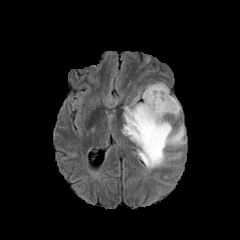
FLAIR magnetic resonance.
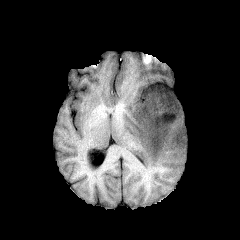
T1-weighted MRI.
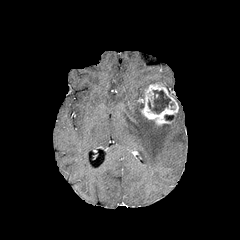
Post-contrast T1-weighted MR.
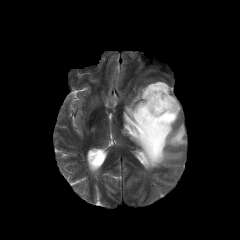
T2-weighted magnetic resonance.
Axial plane | Head
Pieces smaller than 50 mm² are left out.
The 2 largest necrotic tumor core regions appear at {"x1": 148, "y1": 90, "x2": 170, "y2": 113}, {"x1": 165, "y1": 115, "x2": 174, "y2": 120}. The largest peritumoral edema region is located at {"x1": 122, "y1": 92, "x2": 185, "y2": 169}. The largest enhancing tumor region lies within {"x1": 140, "y1": 83, "x2": 178, "y2": 125}.